240x240.
FLAIR MR image.
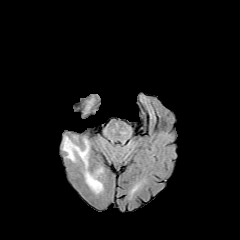
T1-weighted magnetic resonance.
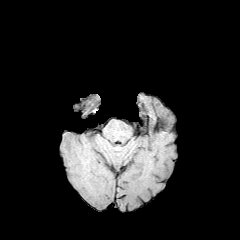
Post-contrast T1-weighted MR image.
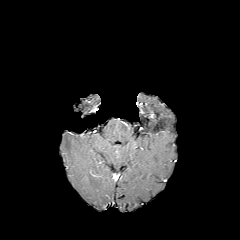
T2-weighted MRI.
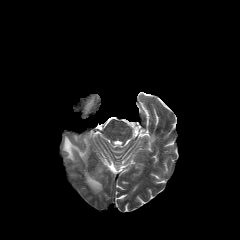
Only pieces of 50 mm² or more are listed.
peritumoral edema — [62,136,103,193]